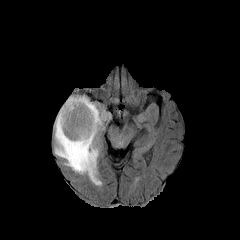
FLAIR MR.
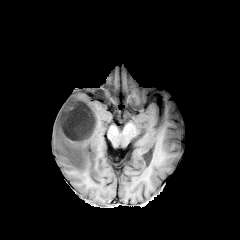
T1-weighted MR.
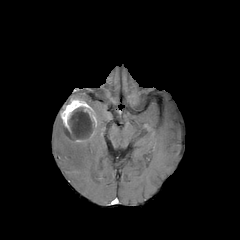
Post-contrast T1-weighted MRI.
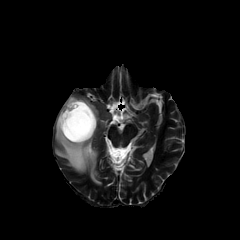
Same slice, T2-weighted MRI.
Axial view
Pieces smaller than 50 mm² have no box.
The largest peritumoral edema region lies within 54 95 106 184. The enhancing tumor is bounded by 60 97 97 142. The largest necrotic tumor core region is bounded by 69 107 92 139.